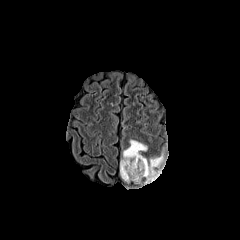
FLAIR MR.
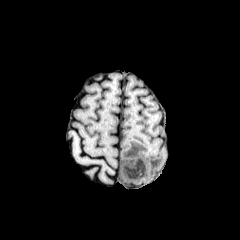
Same slice, T1-weighted MRI.
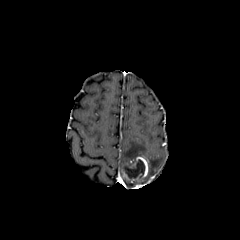
Post-contrast T1-weighted magnetic resonance of the same slice.
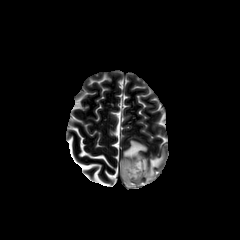
T2-weighted magnetic resonance.
Axial slice, Brain
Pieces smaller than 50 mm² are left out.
peritumoral edema — x1=140, y1=149, x2=164, y2=183; x1=120, y1=140, x2=147, y2=175
necrotic tumor core — x1=123, y1=160, x2=144, y2=178
enhancing tumor — x1=121, y1=156, x2=148, y2=184